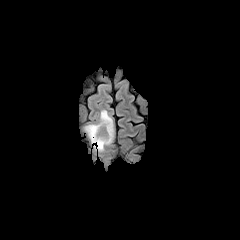
FLAIR MRI.
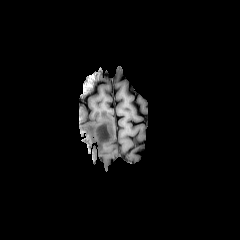
T1-weighted magnetic resonance.
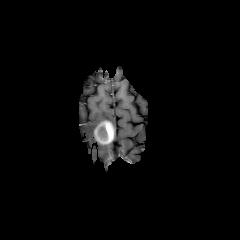
Post-contrast T1-weighted MR image of the same slice.
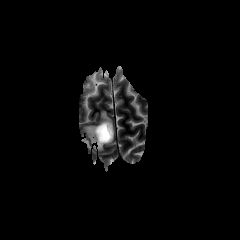
T2-weighted MR image.
Head
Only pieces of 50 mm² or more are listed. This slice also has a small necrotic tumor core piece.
Segmented structures:
* enhancing tumor: <bbox>94, 120, 114, 144</bbox>
* peritumoral edema: <bbox>97, 142, 111, 152</bbox>, <bbox>83, 110, 115, 143</bbox>